FLAIR MRI.
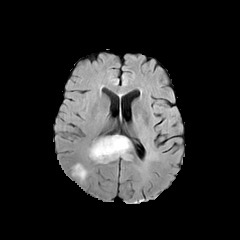
T1-weighted MRI.
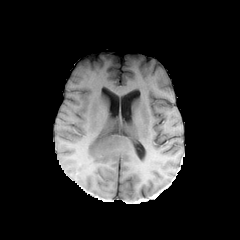
Post-contrast T1-weighted magnetic resonance.
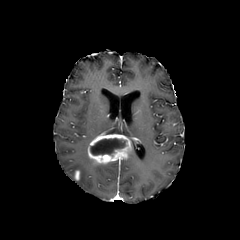
T2-weighted MR image.
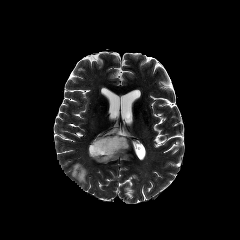
Brain; Axial view
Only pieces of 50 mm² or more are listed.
necrotic tumor core: bounding box box=[90, 138, 126, 155]
enhancing tumor: bounding box box=[88, 134, 131, 163]
peritumoral edema: bounding box box=[72, 163, 87, 182]